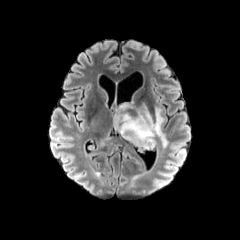
FLAIR MR image.
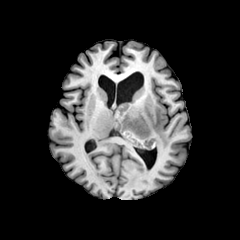
T1-weighted MR image.
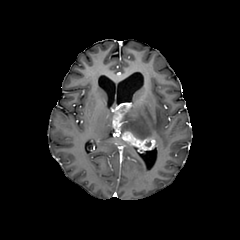
Same slice, post-contrast T1-weighted magnetic resonance.
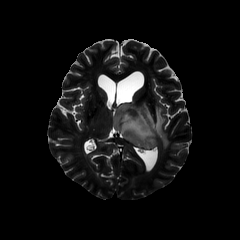
Same slice, T2-weighted MR image.
Axial plane; 240x240 px
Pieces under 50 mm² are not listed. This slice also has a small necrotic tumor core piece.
2 enhancing tumor regions are located at rect(122, 131, 155, 151); rect(112, 103, 131, 131). The peritumoral edema is at rect(121, 104, 168, 147).